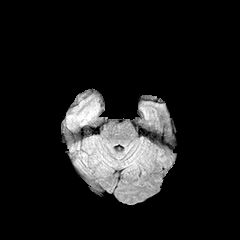
FLAIR MRI.
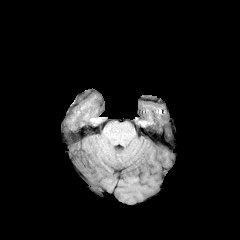
Same slice, T1-weighted MR image.
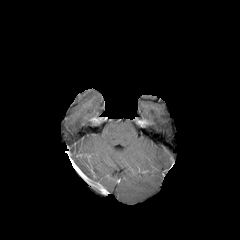
Post-contrast T1-weighted MR image of the same slice.
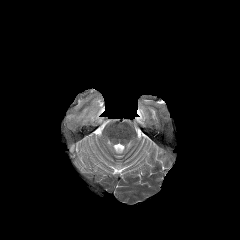
T2-weighted MRI.
240x240 px
<segmentation>
  <peritumoral_edema>[65,91,100,130]</peritumoral_edema>
</segmentation>